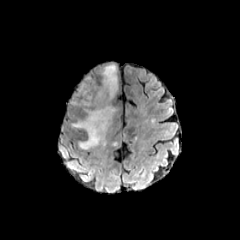
FLAIR MR.
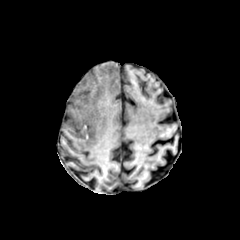
T1-weighted magnetic resonance.
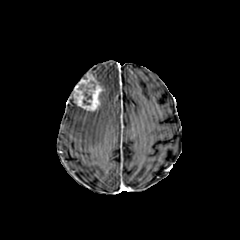
Post-contrast T1-weighted MRI.
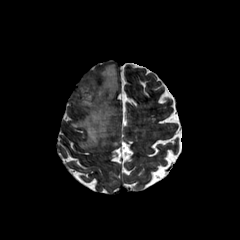
T2-weighted magnetic resonance of the same slice.
Axial plane
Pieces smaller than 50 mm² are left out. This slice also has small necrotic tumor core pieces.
enhancing tumor: box=[73, 73, 104, 111] | peritumoral edema: box=[72, 64, 117, 149]